Axial plane, Image size 240x240, Head
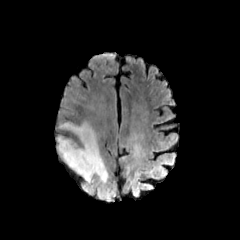
FLAIR MRI.
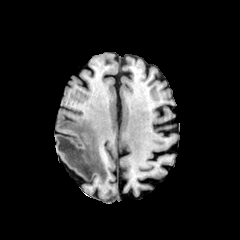
T1-weighted MR image.
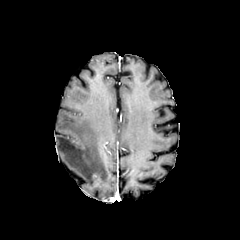
Same slice, post-contrast T1-weighted magnetic resonance.
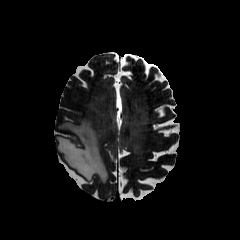
T2-weighted MR.
The peritumoral edema is at [56, 120, 108, 184].